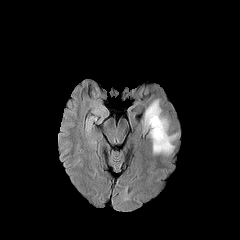
FLAIR magnetic resonance.
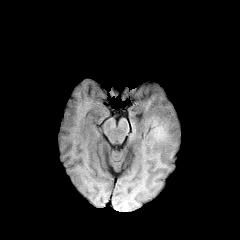
T1-weighted MRI.
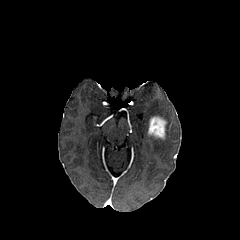
Same slice, post-contrast T1-weighted MR image.
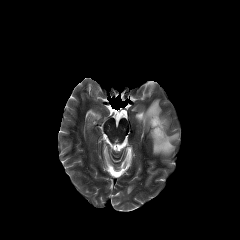
Same slice, T2-weighted magnetic resonance.
240x240 | Brain
enhancing tumor: [x1=148, y1=115, x2=167, y2=139] | peritumoral edema: [x1=143, y1=100, x2=162, y2=130], [x1=149, y1=117, x2=177, y2=155]